FLAIR MR.
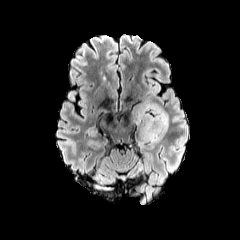
T1-weighted MR image.
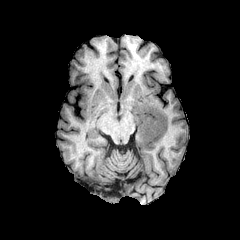
Post-contrast T1-weighted MR image.
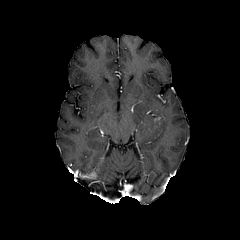
T2-weighted MR image.
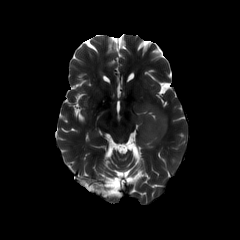
Brain; Image size 240x240
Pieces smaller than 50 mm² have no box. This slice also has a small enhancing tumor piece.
The peritumoral edema is located at [133,99,168,149].